Axial plane, Slice 112/155, Image width 240 mm, 1.00 mm slice spacing
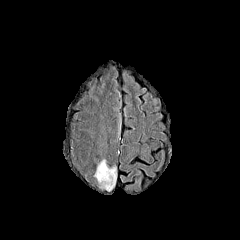
FLAIR MR.
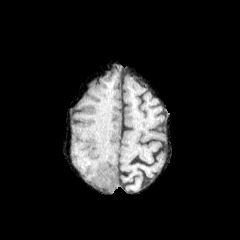
Same slice, T1-weighted MR image.
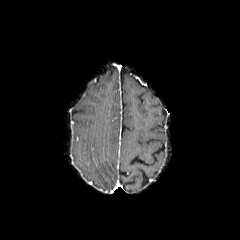
Post-contrast T1-weighted magnetic resonance of the same slice.
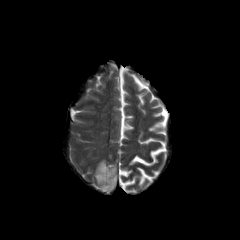
Same slice, T2-weighted MR image.
{"peritumoral_edema": ["93 158 117 191"]}